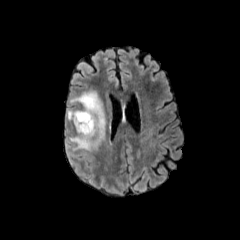
FLAIR MR image.
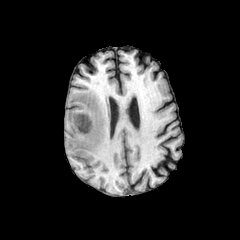
T1-weighted MRI.
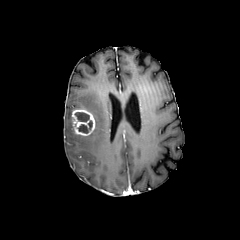
Post-contrast T1-weighted MR.
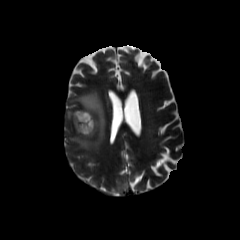
T2-weighted MR image of the same slice.
Axial slice | Brain
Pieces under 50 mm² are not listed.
{
  "peritumoral_edema": [
    "left=66, top=108, right=74, bottom=122",
    "left=68, top=90, right=107, bottom=152"
  ],
  "necrotic_tumor_core": [
    "left=75, top=112, right=89, bottom=121",
    "left=78, top=120, right=92, bottom=133"
  ],
  "enhancing_tumor": [
    "left=72, top=109, right=95, bottom=135"
  ]
}